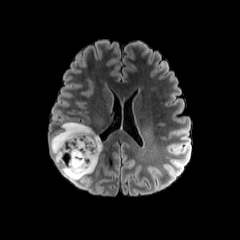
FLAIR magnetic resonance.
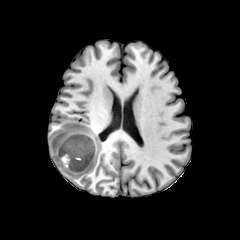
Same slice, T1-weighted MR.
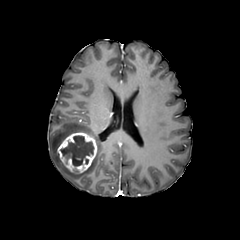
Same slice, post-contrast T1-weighted magnetic resonance.
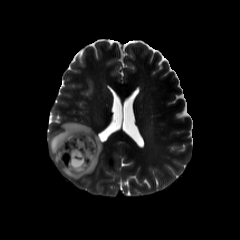
T2-weighted magnetic resonance of the same slice.
Axial plane
Segmented structures:
* peritumoral edema: [50,122,102,181]
* enhancing tumor: [57,132,97,173]
* necrotic tumor core: [60,135,94,166]